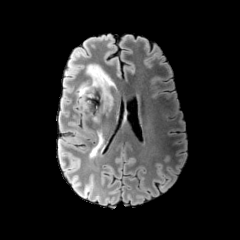
FLAIR magnetic resonance.
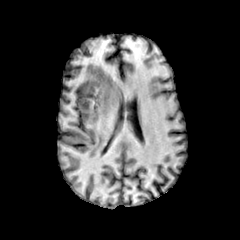
T1-weighted MR.
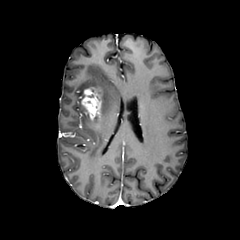
Same slice, post-contrast T1-weighted MRI.
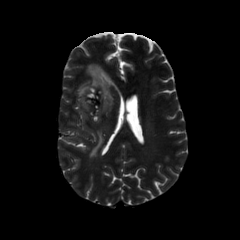
T2-weighted MR.
Head, Axial view
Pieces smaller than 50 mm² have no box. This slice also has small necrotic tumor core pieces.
peritumoral_edema:
  - x1=89, y1=128, x2=103, y2=157
  - x1=77, y1=64, x2=115, y2=114
enhancing_tumor:
  - x1=81, y1=86, x2=103, y2=121